FLAIR magnetic resonance.
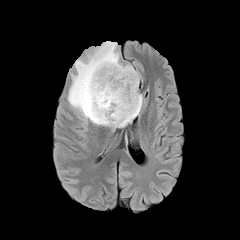
T1-weighted MRI.
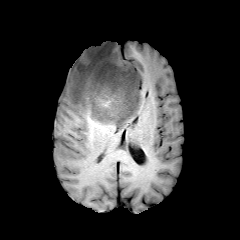
Post-contrast T1-weighted MR.
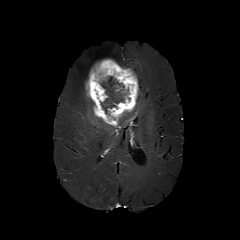
T2-weighted magnetic resonance.
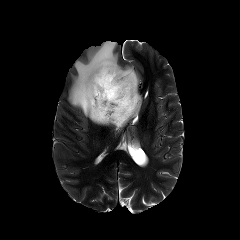
Image size 240x240
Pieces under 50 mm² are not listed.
<segmentation>
  <enhancing_tumor>85:58:138:127</enhancing_tumor>
  <necrotic_tumor_core>101:76:123:113</necrotic_tumor_core>
  <peritumoral_edema>67:41:139:126, 119:93:142:127</peritumoral_edema>
</segmentation>